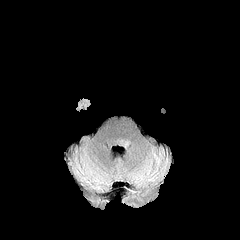
FLAIR MR.
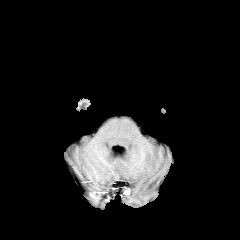
Same slice, T1-weighted magnetic resonance.
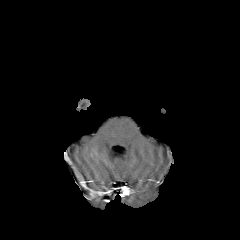
Same slice, post-contrast T1-weighted magnetic resonance.
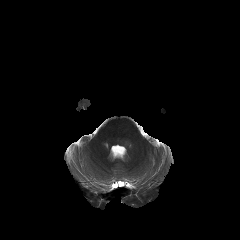
T2-weighted magnetic resonance of the same slice.
Brain
peritumoral edema at rect(116, 138, 130, 146)